FLAIR MR image.
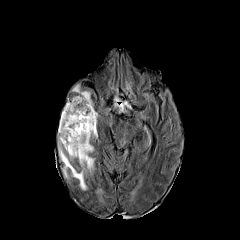
T1-weighted MRI.
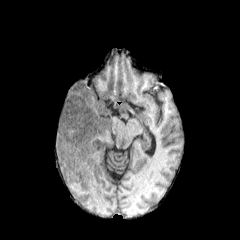
Post-contrast T1-weighted MR.
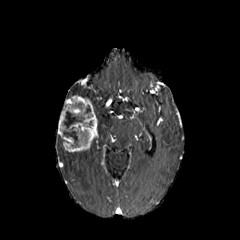
T2-weighted magnetic resonance.
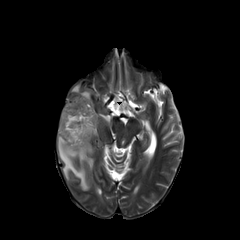
Brain; Image size 240x240
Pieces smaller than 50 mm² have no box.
enhancing tumor: bounding box <box>58,95,97,152</box>
peritumoral edema: bounding box <box>72,85,91,101</box>, <box>58,135,94,190</box>
necrotic tumor core: bounding box <box>63,111,84,146</box>